FLAIR MRI.
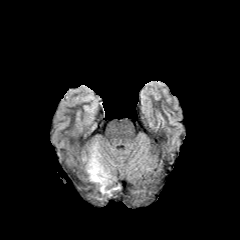
T1-weighted MR image.
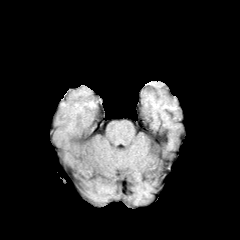
Post-contrast T1-weighted MRI.
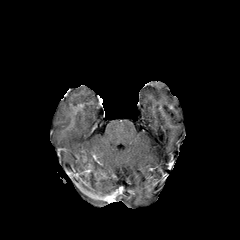
T2-weighted magnetic resonance.
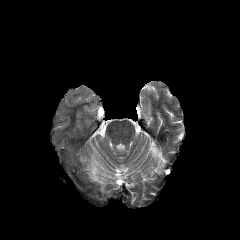
Head
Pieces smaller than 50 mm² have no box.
* enhancing tumor: left=87, top=163, right=106, bottom=179
* peritumoral edema: left=86, top=143, right=110, bottom=194